FLAIR MR image.
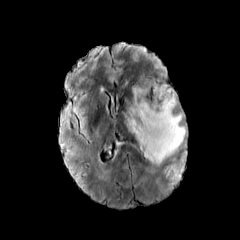
T1-weighted MR.
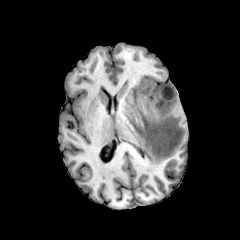
Post-contrast T1-weighted magnetic resonance.
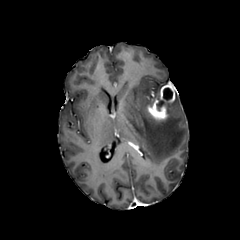
T2-weighted MRI.
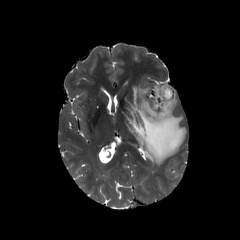
Axial plane, Head, 240x240
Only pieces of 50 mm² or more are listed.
peritumoral edema = (153, 85, 163, 96), (127, 86, 186, 164)
necrotic tumor core = (163, 88, 172, 100)
enhancing tumor = (147, 84, 175, 120)